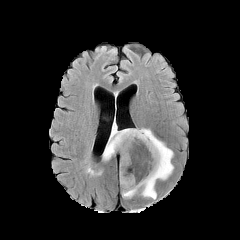
FLAIR MR image.
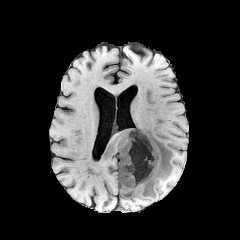
T1-weighted MR image.
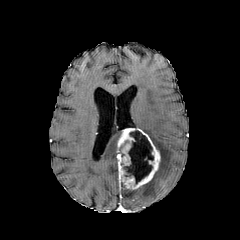
Same slice, post-contrast T1-weighted magnetic resonance.
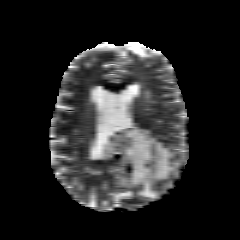
T2-weighted magnetic resonance.
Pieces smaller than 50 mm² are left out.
peritumoral_edema:
  - [122, 128, 173, 199]
  - [102, 124, 121, 160]
enhancing_tumor:
  - [117, 128, 160, 189]
necrotic_tumor_core:
  - [123, 130, 153, 183]